FLAIR MRI.
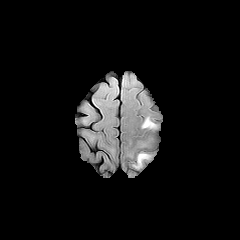
T1-weighted MR image.
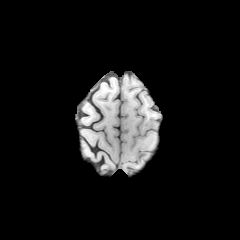
Post-contrast T1-weighted magnetic resonance.
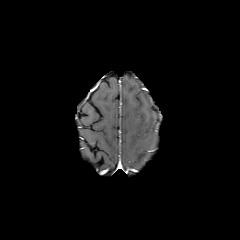
T2-weighted magnetic resonance.
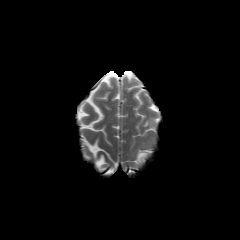
Brain.
peritumoral edema = [137, 153, 146, 163], [143, 119, 154, 127]